Slice 71 of 155. Image width 240 mm.
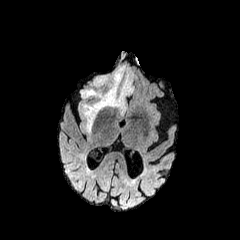
FLAIR magnetic resonance.
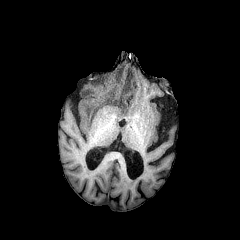
T1-weighted MR image of the same slice.
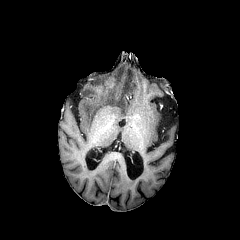
Post-contrast T1-weighted MR of the same slice.
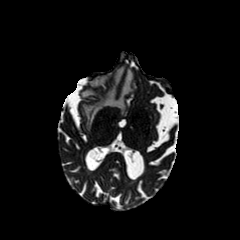
T2-weighted MR.
peritumoral_edema:
  - rect(93, 76, 108, 86)
  - rect(81, 66, 133, 131)